FLAIR magnetic resonance.
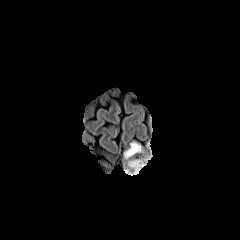
T1-weighted MRI.
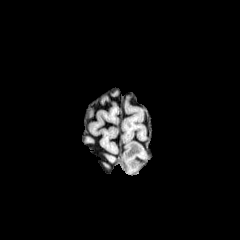
Post-contrast T1-weighted MRI.
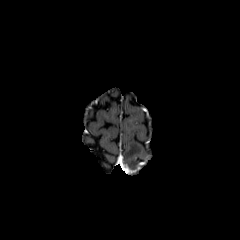
T2-weighted magnetic resonance.
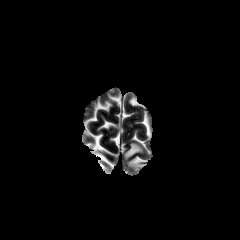
Head. Axial view. Image size 240x240.
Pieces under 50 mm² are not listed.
The largest peritumoral edema region is located at 124, 142, 142, 170. The enhancing tumor lies within 125, 166, 139, 173.